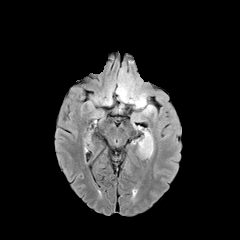
FLAIR magnetic resonance.
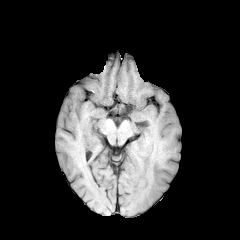
T1-weighted MRI.
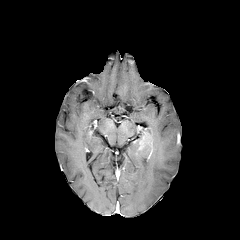
Post-contrast T1-weighted MR.
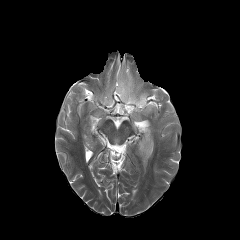
T2-weighted magnetic resonance.
Axial slice | 240x240
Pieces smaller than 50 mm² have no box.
enhancing_tumor:
  - bbox(139, 132, 151, 149)
peritumoral_edema:
  - bbox(117, 80, 146, 108)
  - bbox(142, 105, 155, 115)
  - bbox(132, 126, 154, 158)